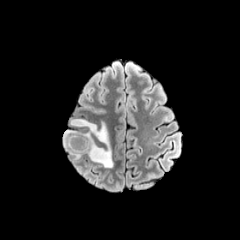
FLAIR magnetic resonance.
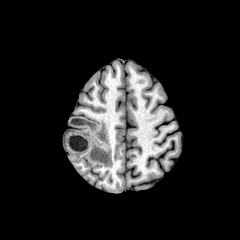
T1-weighted MR.
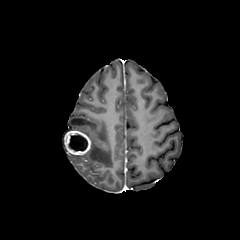
Post-contrast T1-weighted magnetic resonance.
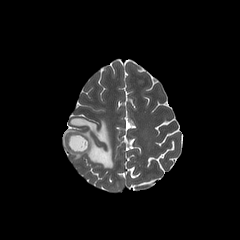
T2-weighted magnetic resonance.
Brain
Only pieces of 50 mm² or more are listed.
Findings:
• peritumoral edema: <bbox>62, 117, 113, 168</bbox>
• necrotic tumor core: <bbox>69, 134, 87, 150</bbox>
• enhancing tumor: <bbox>64, 130, 91, 155</bbox>